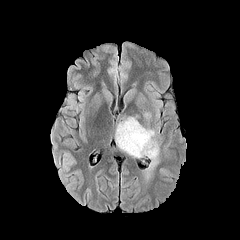
FLAIR magnetic resonance.
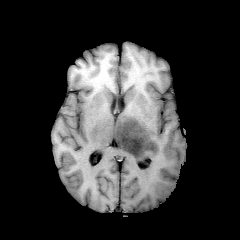
T1-weighted MR image.
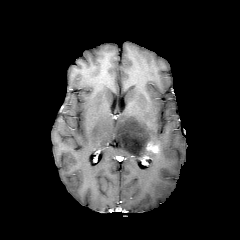
Post-contrast T1-weighted MRI.
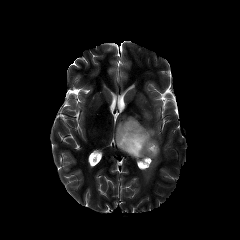
Same slice, T2-weighted MR image.
Head, Axial plane
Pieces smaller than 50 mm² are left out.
Annotated regions:
• enhancing tumor: [146,141,159,153]
• peritumoral edema: [115,116,159,176]